FLAIR magnetic resonance.
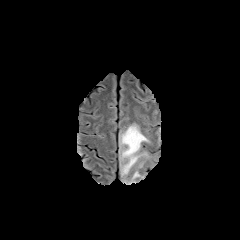
T1-weighted magnetic resonance.
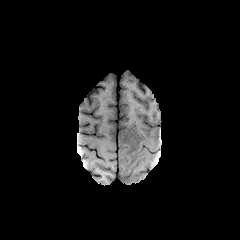
Post-contrast T1-weighted MR image.
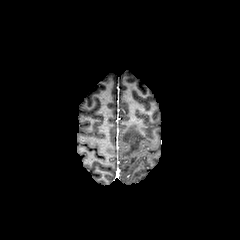
T2-weighted magnetic resonance.
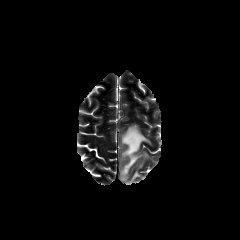
Axial plane.
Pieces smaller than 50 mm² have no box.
peritumoral_edema:
  - l=120, t=124, r=149, b=184